Brain; Axial plane; Image size 240x240; Slice 61/155
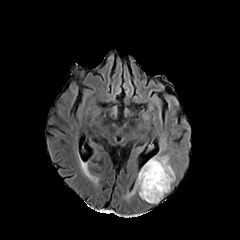
FLAIR magnetic resonance.
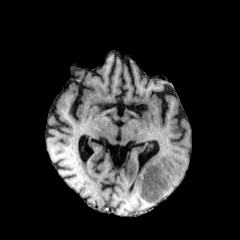
Same slice, T1-weighted MR.
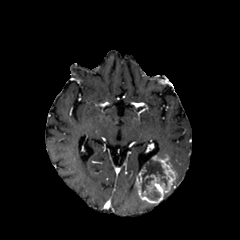
Post-contrast T1-weighted MR.
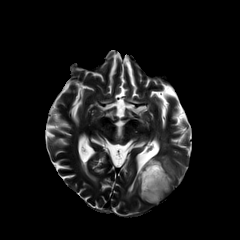
T2-weighted MR image.
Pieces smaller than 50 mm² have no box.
The enhancing tumor lies within x1=135, y1=154, x2=175, y2=203. The 2 largest necrotic tumor core regions appear at x1=141, y1=160, x2=169, y2=195; x1=147, y1=187, x2=159, y2=199. The largest peritumoral edema region lies within x1=128, y1=185, x2=137, y2=197.